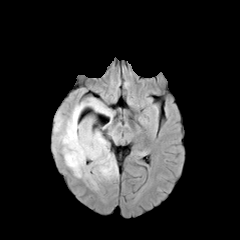
FLAIR MR image.
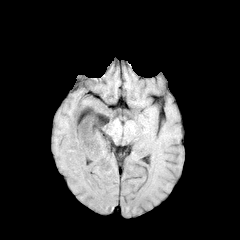
T1-weighted MR image.
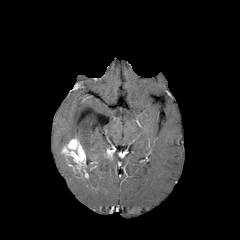
Post-contrast T1-weighted MRI.
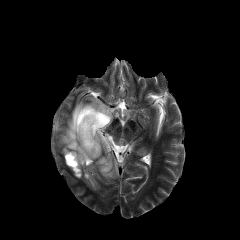
T2-weighted MR image.
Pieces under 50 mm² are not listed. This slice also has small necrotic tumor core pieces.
The 2 largest peritumoral edema regions appear at (x1=54, y1=98, x2=117, y2=189), (x1=109, y1=131, x2=117, y2=142). The 2 largest enhancing tumor regions are located at (x1=104, y1=146, x2=113, y2=159), (x1=61, y1=136, x2=88, y2=178).